Brain, Axial slice
FLAIR MRI.
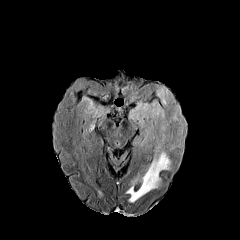
T1-weighted MR.
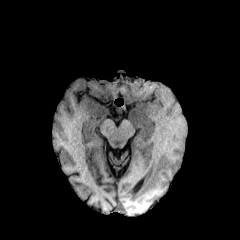
Post-contrast T1-weighted MR image.
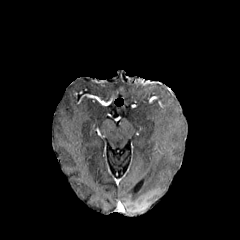
T2-weighted MR.
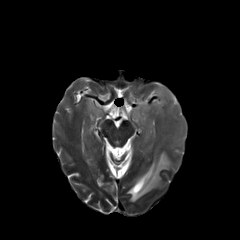
peritumoral edema = [126,87,185,201]